FLAIR magnetic resonance.
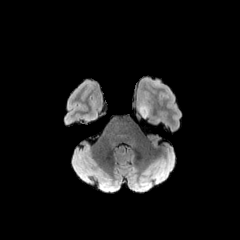
T1-weighted MR.
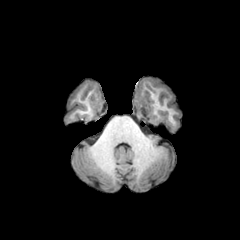
Post-contrast T1-weighted MR.
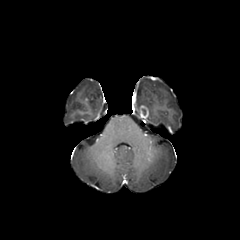
T2-weighted MR image.
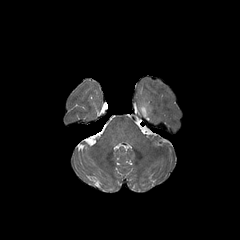
240x240. Brain.
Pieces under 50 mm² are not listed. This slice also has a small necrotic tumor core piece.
enhancing tumor: bounding box (139, 105, 148, 118)
peritumoral edema: bounding box (138, 98, 151, 116)